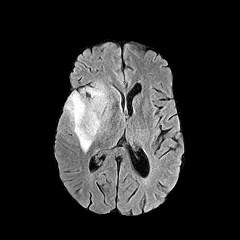
FLAIR MR image.
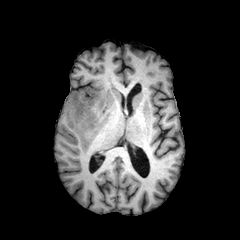
Same slice, T1-weighted MR.
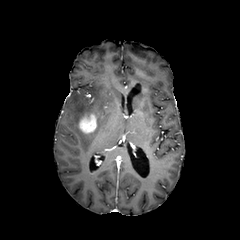
Post-contrast T1-weighted MR.
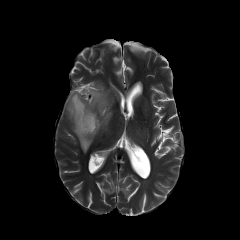
T2-weighted MRI.
Head; Axial plane
{
  "enhancing_tumor": [
    "[79, 113, 96, 133]"
  ],
  "peritumoral_edema": [
    "[65, 83, 109, 152]"
  ]
}